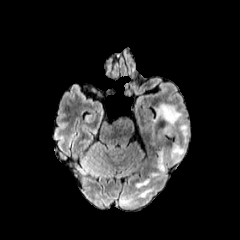
FLAIR magnetic resonance.
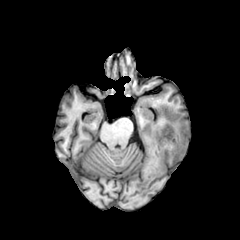
T1-weighted magnetic resonance of the same slice.
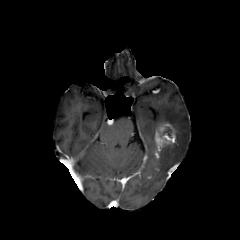
Same slice, post-contrast T1-weighted magnetic resonance.
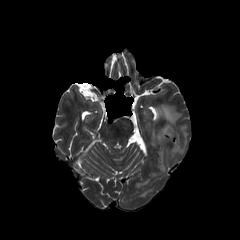
T2-weighted magnetic resonance.
Image size 240x240. Brain. Axial view.
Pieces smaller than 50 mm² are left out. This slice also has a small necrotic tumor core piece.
The 4 largest peritumoral edema regions are bounded by <box>141,188,153,196</box>, <box>158,147,165,172</box>, <box>152,104,188,161</box>, <box>136,179,149,187</box>. The enhancing tumor is located at <box>154,122,176,157</box>.